Brain, 240x240 px, Image width 240 mm, 1.00 mm slice spacing
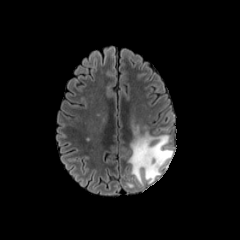
FLAIR MRI.
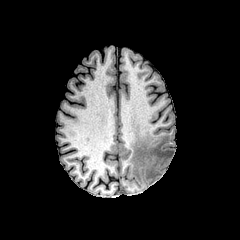
Same slice, T1-weighted MR image.
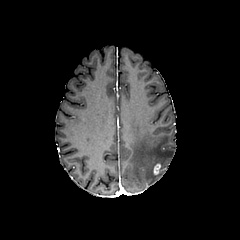
Same slice, post-contrast T1-weighted MR.
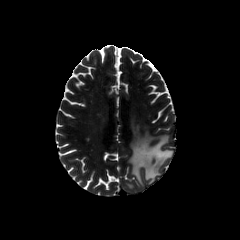
T2-weighted magnetic resonance.
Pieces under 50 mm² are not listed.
Findings:
- peritumoral edema: bbox=[128, 125, 173, 186]
- enhancing tumor: bbox=[153, 163, 160, 174]